FLAIR MRI.
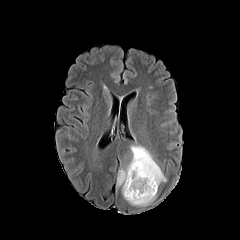
T1-weighted MR image.
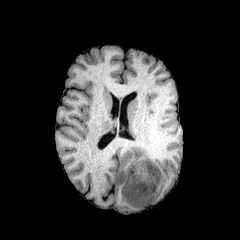
Post-contrast T1-weighted MR image.
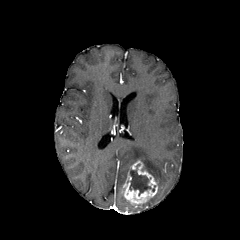
T2-weighted MR image.
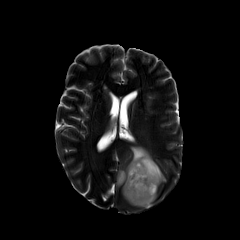
Axial slice, Brain
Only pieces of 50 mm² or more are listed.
The enhancing tumor is at <box>122,160,157,206</box>. The largest necrotic tumor core region is at <box>129,170,151,195</box>. The largest peritumoral edema region is bounded by <box>117,146,166,186</box>.